Brain, Axial slice, Image size 240x240
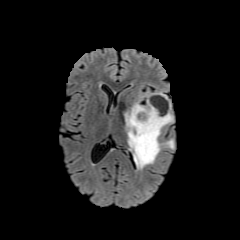
FLAIR MR image.
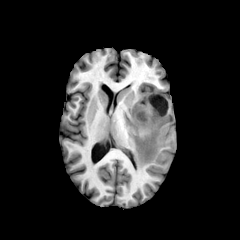
T1-weighted MR.
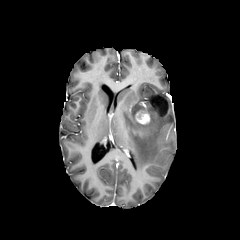
Same slice, post-contrast T1-weighted magnetic resonance.
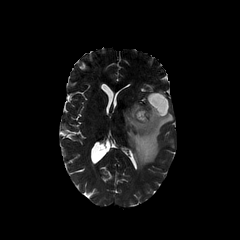
Same slice, T2-weighted MR image.
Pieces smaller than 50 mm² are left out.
enhancing tumor = (x1=136, y1=110, x2=149, y2=124)
peritumoral edema = (x1=124, y1=92, x2=174, y2=169)